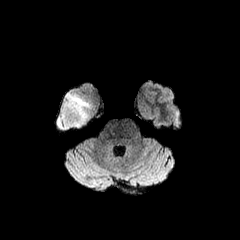
FLAIR MR image.
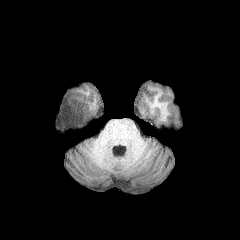
T1-weighted MRI.
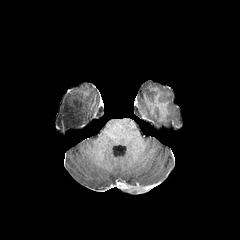
Post-contrast T1-weighted MRI.
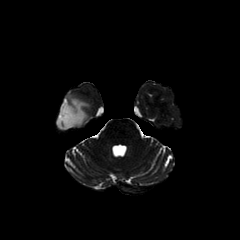
Same slice, T2-weighted MRI.
Brain; Axial view
{
  "peritumoral_edema": [
    "(56, 93, 90, 131)"
  ]
}